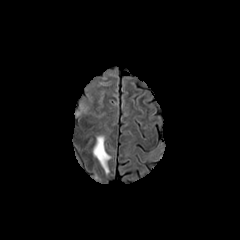
FLAIR MR.
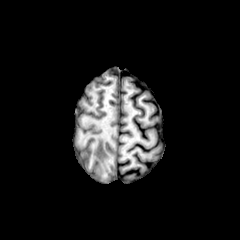
Same slice, T1-weighted MR image.
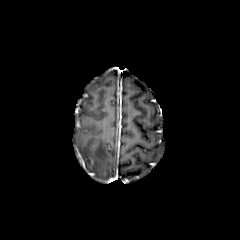
Same slice, post-contrast T1-weighted MR image.
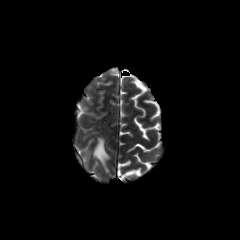
T2-weighted magnetic resonance.
240x240, Brain
{
  "peritumoral_edema": [
    "bbox(93, 136, 110, 173)"
  ]
}